FLAIR MR image.
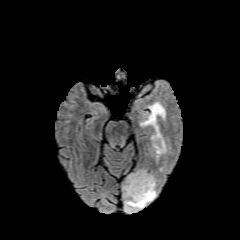
T1-weighted magnetic resonance.
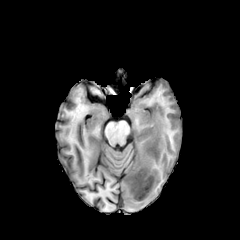
Post-contrast T1-weighted MRI.
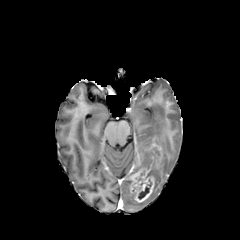
T2-weighted MR.
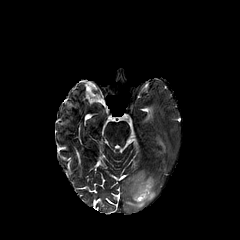
Head, Axial plane
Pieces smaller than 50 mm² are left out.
necrotic tumor core: box=[138, 180, 151, 199] | enhancing tumor: box=[127, 168, 154, 202]; box=[151, 142, 161, 153] | peritumoral edema: box=[140, 102, 166, 157]; box=[122, 178, 157, 212]